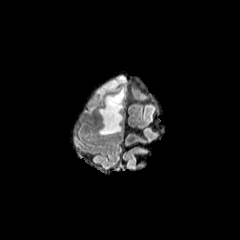
FLAIR MRI.
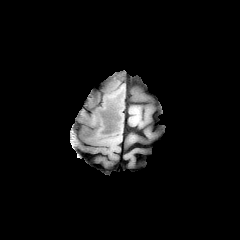
Same slice, T1-weighted magnetic resonance.
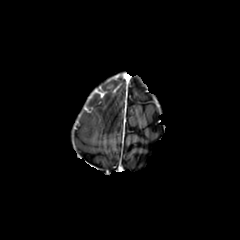
Same slice, post-contrast T1-weighted MR image.
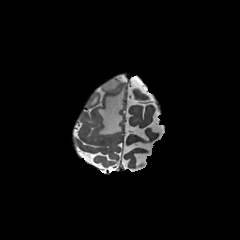
T2-weighted magnetic resonance.
240x240, Axial plane, Brain
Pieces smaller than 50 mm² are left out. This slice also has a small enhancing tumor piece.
<segmentation>
  <peritumoral_edema>rect(89, 75, 125, 134)</peritumoral_edema>
</segmentation>